Slice 92 of 155 | Brain
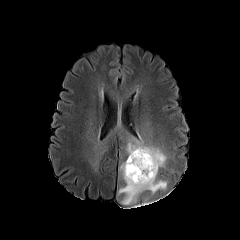
FLAIR MRI.
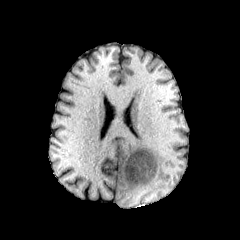
Same slice, T1-weighted MR image.
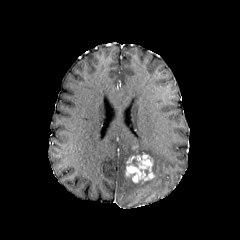
Post-contrast T1-weighted MR image.
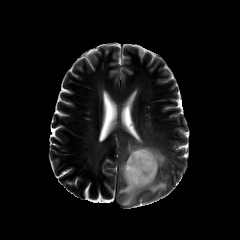
T2-weighted MR image.
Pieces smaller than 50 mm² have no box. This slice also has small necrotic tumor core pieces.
enhancing tumor: l=125, t=153, r=154, b=183 | peritumoral edema: l=118, t=136, r=166, b=205